FLAIR MR image.
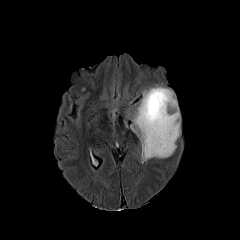
T1-weighted magnetic resonance.
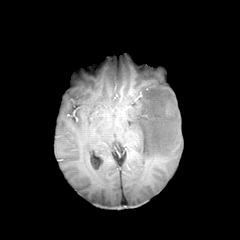
Post-contrast T1-weighted MRI.
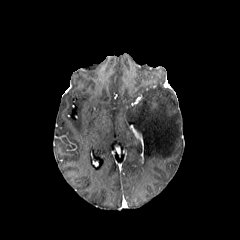
T2-weighted magnetic resonance.
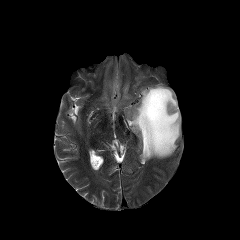
Brain; Image size 240x240
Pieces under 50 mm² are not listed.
{"peritumoral_edema": ["left=127, top=85, right=180, bottom=160"]}